Slice index 85
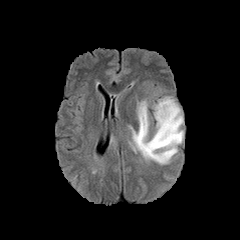
FLAIR magnetic resonance.
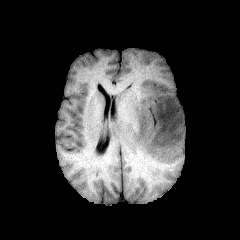
T1-weighted MRI of the same slice.
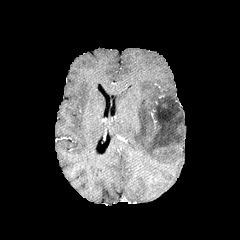
Post-contrast T1-weighted MR of the same slice.
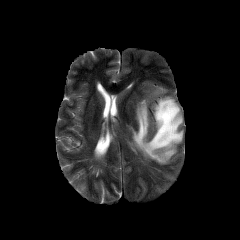
Same slice, T2-weighted MR image.
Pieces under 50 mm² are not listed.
<segmentation>
  <peritumoral_edema>left=129, top=96, right=183, bottom=164</peritumoral_edema>
</segmentation>